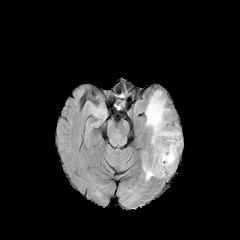
FLAIR magnetic resonance.
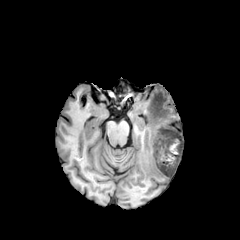
T1-weighted magnetic resonance.
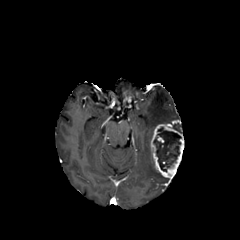
Same slice, post-contrast T1-weighted magnetic resonance.
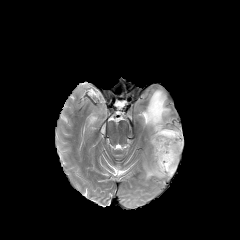
T2-weighted MRI of the same slice.
240x240 px. Axial view.
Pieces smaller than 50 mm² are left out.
Findings:
* peritumoral edema: [145,91,169,130], [143,163,163,180]
* necrotic tumor core: [153,127,181,171]
* enhancing tumor: [150,124,183,177]